Axial plane | Slice 58/155
FLAIR magnetic resonance.
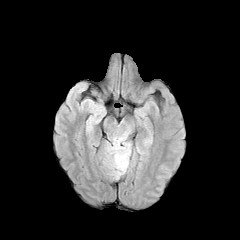
T1-weighted MRI.
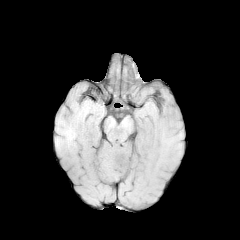
Post-contrast T1-weighted MRI.
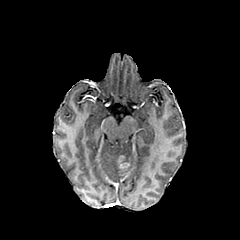
T2-weighted MR.
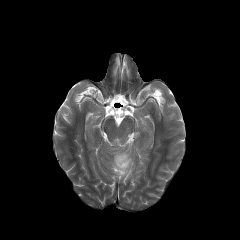
The enhancing tumor is located at box(117, 155, 130, 175). The peritumoral edema is bounded by box(104, 127, 133, 179).